Slice index 63 | Axial view
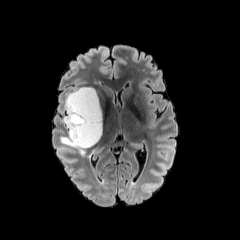
FLAIR MRI.
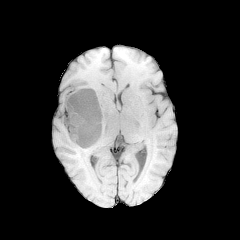
Same slice, T1-weighted MR image.
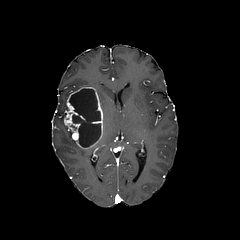
Same slice, post-contrast T1-weighted magnetic resonance.
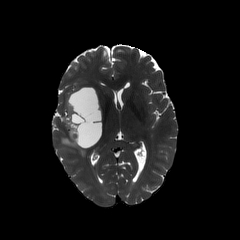
T2-weighted MRI.
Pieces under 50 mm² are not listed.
{"peritumoral_edema": ["<box>61,131,85,155</box>"], "necrotic_tumor_core": ["<box>69,89,100,147</box>"], "enhancing_tumor": ["<box>64,86,102,148</box>"]}